Head | Image covers 240 mm x 240 mm
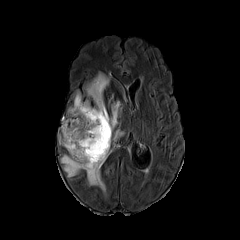
FLAIR MR.
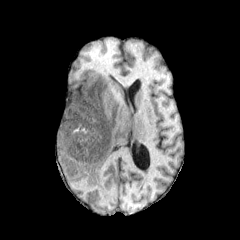
Same slice, T1-weighted MR image.
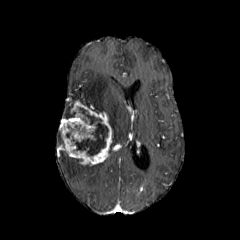
Post-contrast T1-weighted MR image.
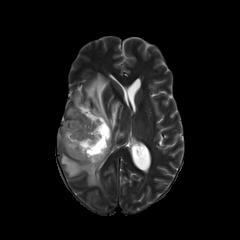
T2-weighted magnetic resonance.
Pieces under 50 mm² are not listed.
• necrotic tumor core: rect(75, 107, 108, 155)
• enhancing tumor: rect(59, 100, 112, 165)
• peritumoral edema: rect(112, 129, 123, 141); rect(60, 154, 104, 191); rect(74, 73, 121, 131)